Image size 240x240; Head
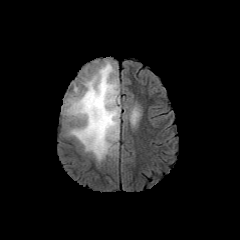
FLAIR MRI.
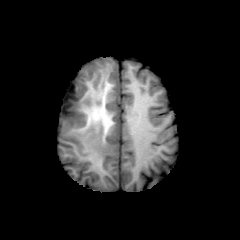
T1-weighted magnetic resonance.
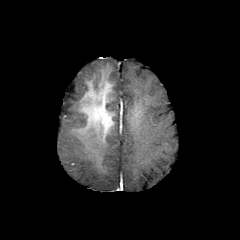
Post-contrast T1-weighted magnetic resonance.
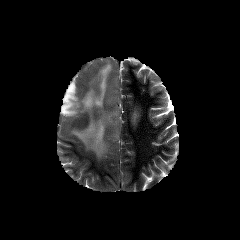
T2-weighted MR of the same slice.
peritumoral edema: bounding box <box>61,59,120,162</box>, <box>131,111,138,123</box>